Slice 72 of 155; Axial plane
FLAIR MRI.
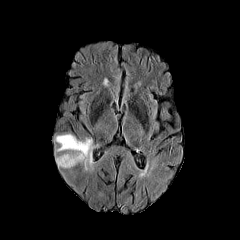
T1-weighted MR image.
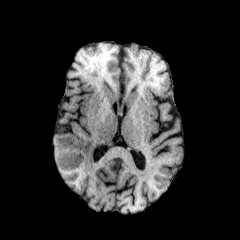
Post-contrast T1-weighted MR image.
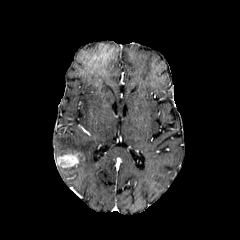
T2-weighted MRI.
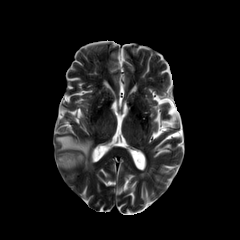
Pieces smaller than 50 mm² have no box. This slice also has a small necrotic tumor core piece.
enhancing tumor: bounding box box(57, 151, 84, 168)
peritumoral edema: bounding box box(55, 134, 93, 168)